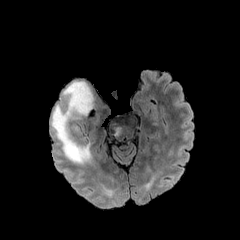
FLAIR MR.
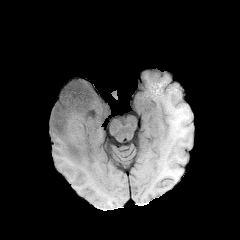
T1-weighted magnetic resonance of the same slice.
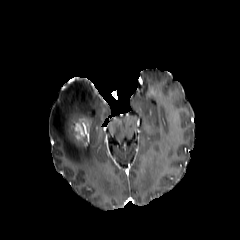
Same slice, post-contrast T1-weighted MRI.
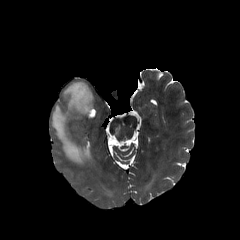
T2-weighted magnetic resonance.
Axial plane; Brain
peritumoral edema: bbox=[51, 81, 93, 164]; bbox=[113, 126, 121, 136] | enhancing tumor: bbox=[74, 120, 89, 143]